FLAIR MR.
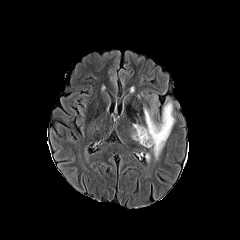
T1-weighted MR image.
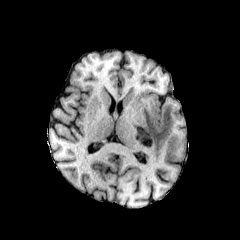
Post-contrast T1-weighted magnetic resonance.
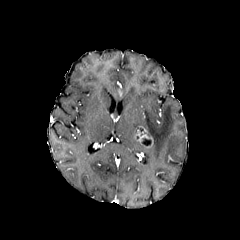
T2-weighted MR.
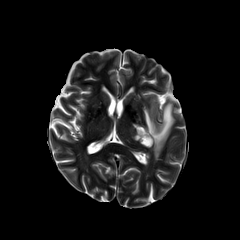
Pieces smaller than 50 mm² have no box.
<segmentation>
  <necrotic_tumor_core>142,138,150,145</necrotic_tumor_core>
  <enhancing_tumor>134,126,153,144</enhancing_tumor>
  <peritumoral_edema>144,94,174,159</peritumoral_edema>
</segmentation>